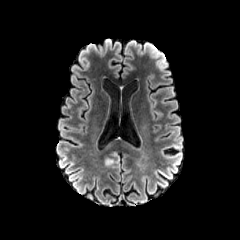
FLAIR magnetic resonance.
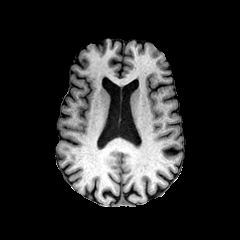
Same slice, T1-weighted MR.
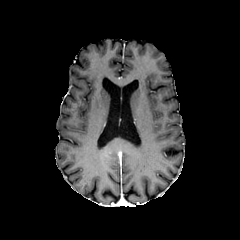
Same slice, post-contrast T1-weighted MR image.
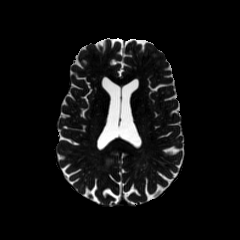
T2-weighted MR.
Axial plane, Head
peritumoral edema: box(105, 151, 120, 167)